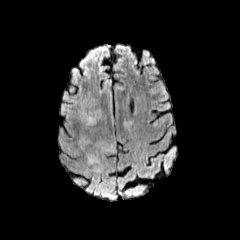
FLAIR MR.
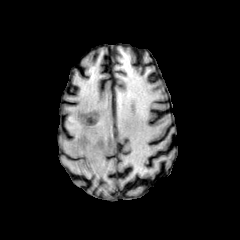
T1-weighted MR.
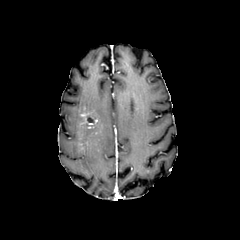
Same slice, post-contrast T1-weighted MR image.
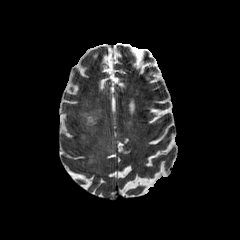
T2-weighted MR of the same slice.
240x240 | Brain
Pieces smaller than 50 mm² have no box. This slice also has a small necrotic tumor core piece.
enhancing tumor: bounding box <bbox>79, 111, 98, 128</bbox>, <bbox>79, 134, 84, 149</bbox>
peritumoral edema: bounding box <bbox>88, 141, 113, 163</bbox>